FLAIR magnetic resonance.
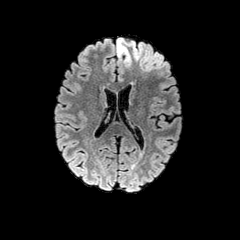
T1-weighted MR image.
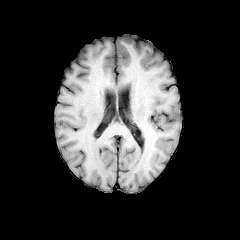
Post-contrast T1-weighted MR.
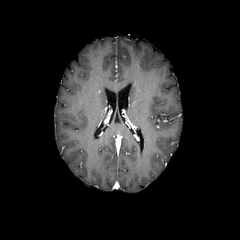
T2-weighted MR.
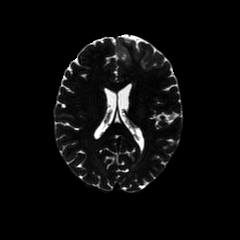
The peritumoral edema is located at <bbox>116, 38, 142, 66</bbox>.